Image width 240 mm, 1.00 mm slice spacing, Head
FLAIR magnetic resonance.
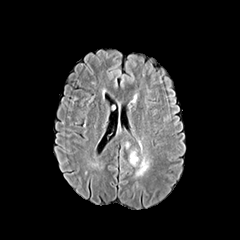
T1-weighted MR image.
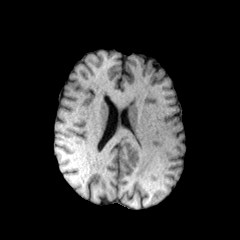
Post-contrast T1-weighted MR.
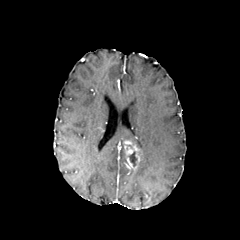
T2-weighted MRI.
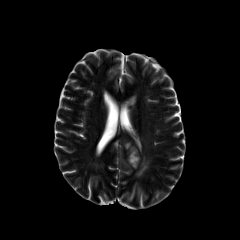
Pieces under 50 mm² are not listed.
enhancing tumor: l=123, t=140, r=140, b=169 | necrotic tumor core: l=129, t=151, r=137, b=166 | peritumoral edema: l=135, t=156, r=149, b=176